Image size 240x240 | Slice 78/155
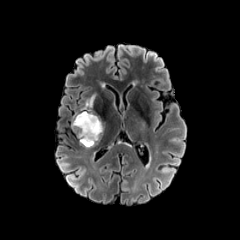
FLAIR MRI.
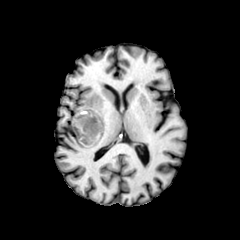
T1-weighted magnetic resonance.
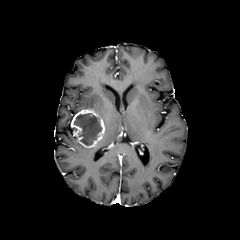
Post-contrast T1-weighted MR image of the same slice.
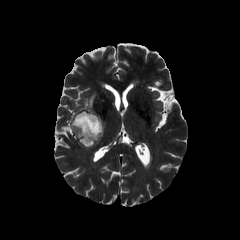
T2-weighted MRI.
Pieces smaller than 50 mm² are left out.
- peritumoral edema: <bbox>80, 94, 95, 110</bbox>
- enhancing tumor: <bbox>71, 109, 104, 148</bbox>
- necrotic tumor core: <bbox>74, 113, 102, 145</bbox>